Slice 57 of 155. Axial plane. Head.
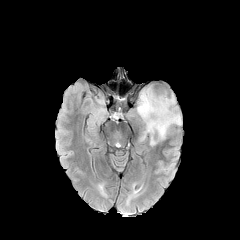
FLAIR MRI.
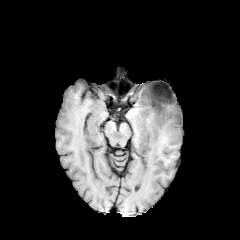
T1-weighted MR image of the same slice.
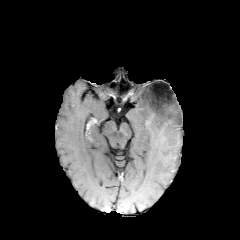
Same slice, post-contrast T1-weighted MR.
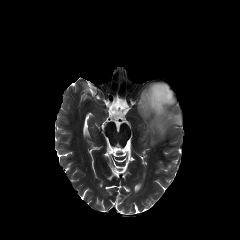
T2-weighted magnetic resonance of the same slice.
peritumoral edema: bounding box (left=137, top=85, right=182, bottom=145)
necrotic tumor core: bounding box (left=144, top=84, right=173, bottom=116)